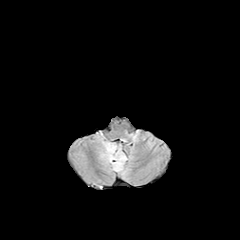
FLAIR MRI.
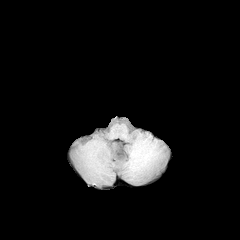
T1-weighted MR.
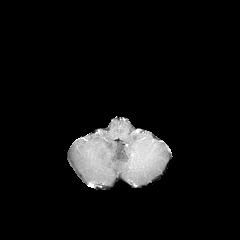
Same slice, post-contrast T1-weighted magnetic resonance.
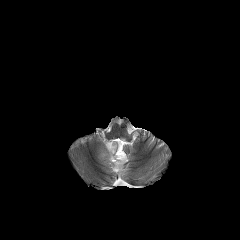
Same slice, T2-weighted MR.
240x240 px | Axial view | Head
The peritumoral edema appears at x1=99, y1=141, x2=128, y2=175.